FLAIR MRI.
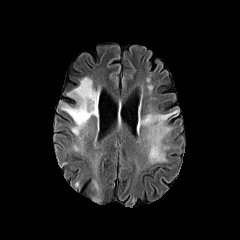
T1-weighted MRI.
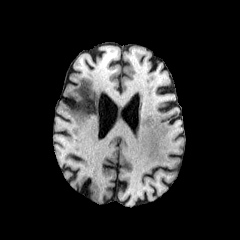
Post-contrast T1-weighted MRI.
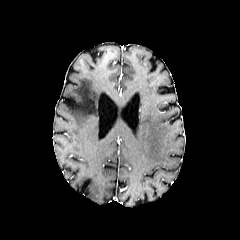
T2-weighted magnetic resonance.
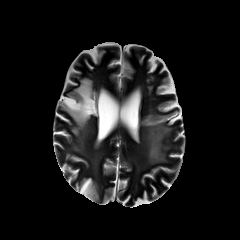
Brain; Axial view
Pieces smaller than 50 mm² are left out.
peritumoral_edema:
  - 140, 109, 179, 164
  - 61, 77, 99, 135
  - 90, 179, 102, 203
  - 72, 142, 82, 151